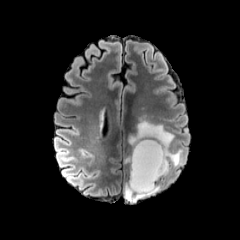
FLAIR MRI.
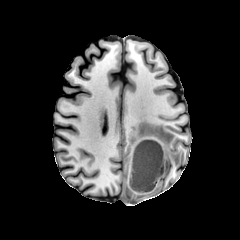
T1-weighted MR.
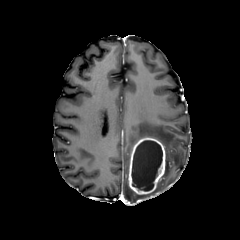
Post-contrast T1-weighted MRI.
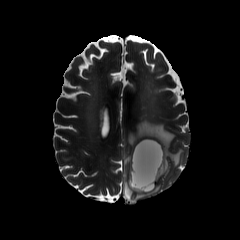
T2-weighted MRI.
Head. Axial plane. Image size 240x240.
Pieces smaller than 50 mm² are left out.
{
  "necrotic_tumor_core": [
    "<bbox>131, 140, 162, 191</bbox>"
  ],
  "peritumoral_edema": [
    "<bbox>123, 181, 161, 202</bbox>",
    "<bbox>128, 120, 183, 177</bbox>"
  ],
  "enhancing_tumor": [
    "<bbox>128, 137, 165, 194</bbox>"
  ]
}